Slice index 74. Image width 240 mm. Image size 240x240. Axial view.
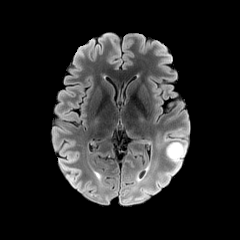
FLAIR magnetic resonance.
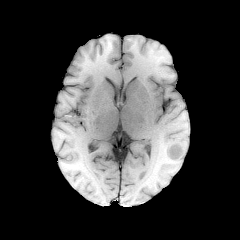
T1-weighted magnetic resonance.
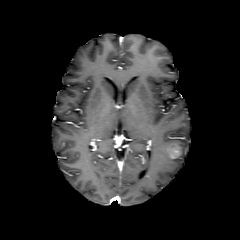
Post-contrast T1-weighted MR image.
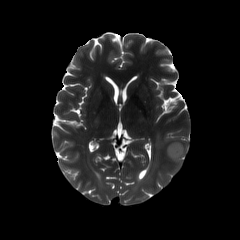
T2-weighted MRI of the same slice.
The peritumoral edema appears at x1=158, y1=133, x2=187, y2=183. The enhancing tumor is bounded by x1=165, y1=140, x2=183, y2=159.